FLAIR magnetic resonance.
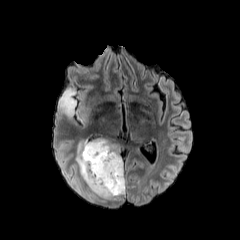
T1-weighted MR.
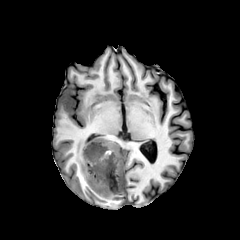
Post-contrast T1-weighted MR.
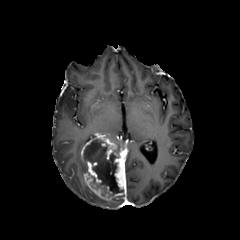
T2-weighted magnetic resonance.
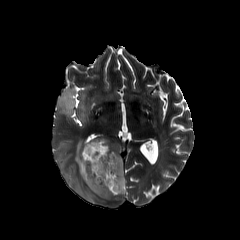
Brain
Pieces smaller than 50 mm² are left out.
enhancing tumor at l=81, t=135, r=126, b=200
necrotic tumor core at l=83, t=139, r=123, b=195
peritumoral edema at l=76, t=140, r=88, b=179; l=58, t=88, r=76, b=116; l=84, t=186, r=105, b=201